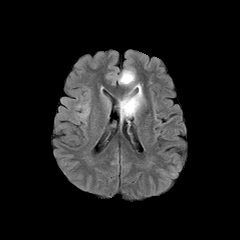
FLAIR MRI.
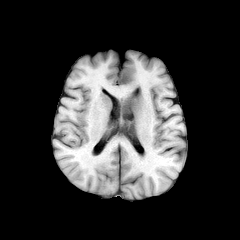
T1-weighted magnetic resonance of the same slice.
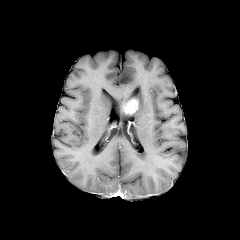
Post-contrast T1-weighted MRI of the same slice.
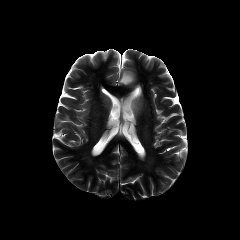
Same slice, T2-weighted MRI.
Axial slice | Brain
<segmentation>
  <enhancing_tumor>[121, 98, 138, 115]</enhancing_tumor>
  <peritumoral_edema>[119, 69, 135, 85], [119, 84, 143, 119]</peritumoral_edema>
</segmentation>